Slice 93/155 | Head | Axial view
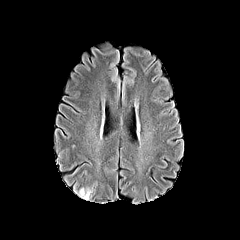
FLAIR magnetic resonance.
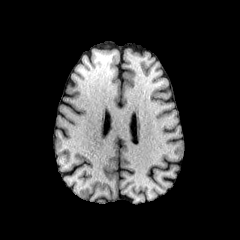
T1-weighted magnetic resonance.
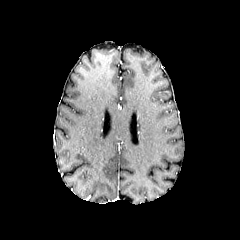
Post-contrast T1-weighted MRI of the same slice.
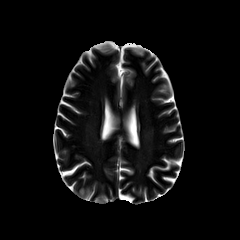
Same slice, T2-weighted magnetic resonance.
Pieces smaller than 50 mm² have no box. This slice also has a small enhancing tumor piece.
<segmentation>
  <peritumoral_edema>(left=77, top=188, right=92, bottom=199)</peritumoral_edema>
</segmentation>